FLAIR MRI.
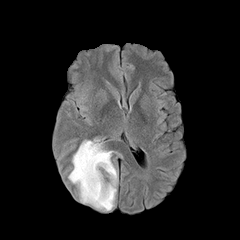
T1-weighted MR.
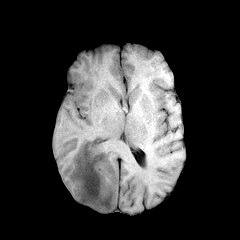
Post-contrast T1-weighted MRI.
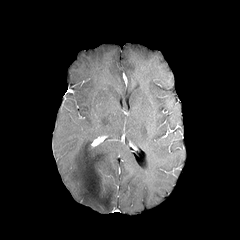
T2-weighted MR.
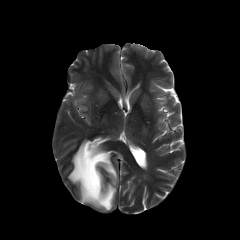
Head
peritumoral_edema:
  - bbox=[68, 140, 117, 211]